Axial view. Image width 240 mm, 1.00 mm slice spacing.
FLAIR MR image.
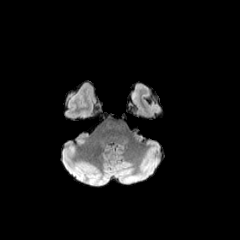
T1-weighted magnetic resonance.
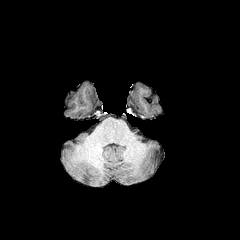
Post-contrast T1-weighted MRI.
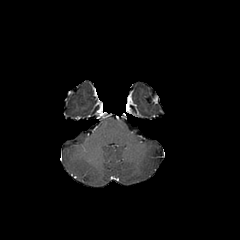
T2-weighted MRI.
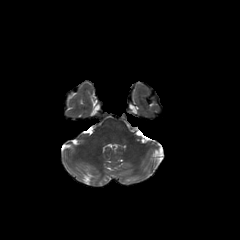
peritumoral edema: l=131, t=82, r=146, b=99